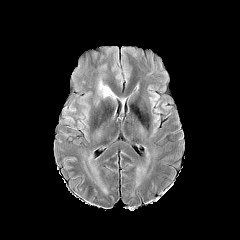
FLAIR MR.
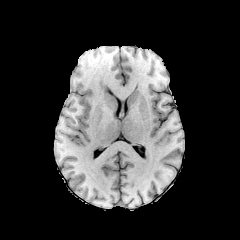
T1-weighted magnetic resonance.
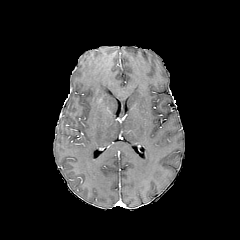
Post-contrast T1-weighted MR of the same slice.
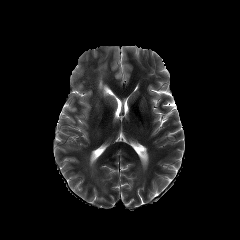
T2-weighted MR image.
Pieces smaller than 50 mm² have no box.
- peritumoral edema: left=98, top=79, right=110, bottom=97